Slice 61/155
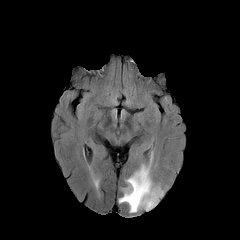
FLAIR MR image.
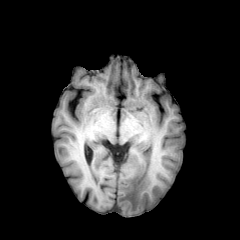
T1-weighted MRI.
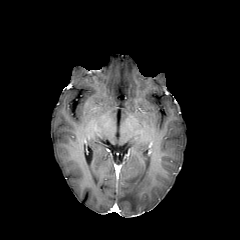
Post-contrast T1-weighted MR image.
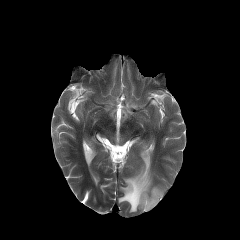
T2-weighted MRI of the same slice.
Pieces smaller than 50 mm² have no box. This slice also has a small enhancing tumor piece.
{"peritumoral_edema": ["(119, 164, 163, 212)"]}